FLAIR MRI.
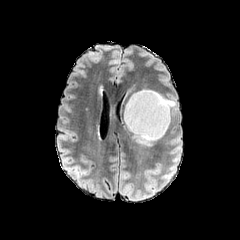
T1-weighted MR image.
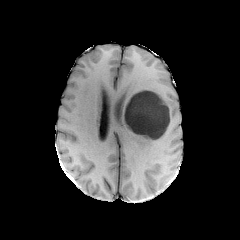
Post-contrast T1-weighted MR.
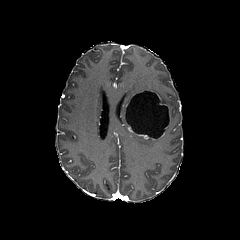
T2-weighted MR image.
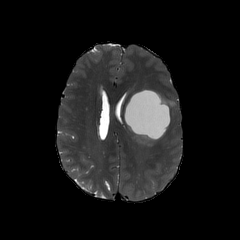
Head | Axial view
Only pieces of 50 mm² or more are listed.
2 peritumoral edema regions are bounded by box(134, 134, 154, 145); box(159, 95, 174, 105). The largest enhancing tumor region is located at box(124, 97, 157, 139). The necrotic tumor core is located at box(126, 91, 168, 138).